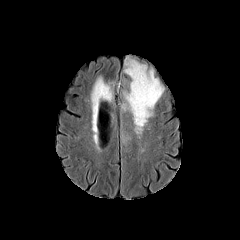
FLAIR magnetic resonance.
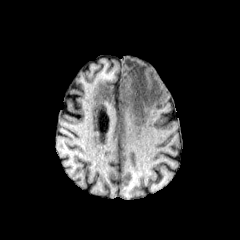
Same slice, T1-weighted magnetic resonance.
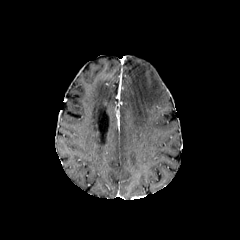
Post-contrast T1-weighted MR image.
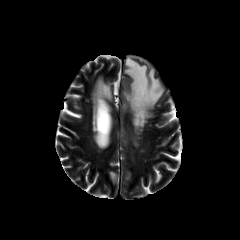
Same slice, T2-weighted magnetic resonance.
Brain
peritumoral edema: bounding box x1=121, y1=59, x2=163, y2=133; x1=90, y1=75, x2=112, y2=109